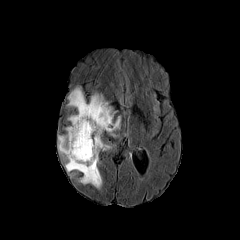
FLAIR magnetic resonance.
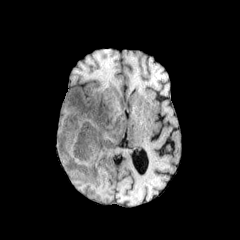
Same slice, T1-weighted MRI.
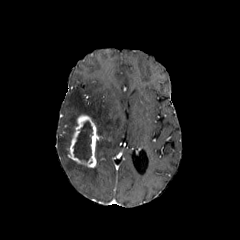
Post-contrast T1-weighted magnetic resonance.
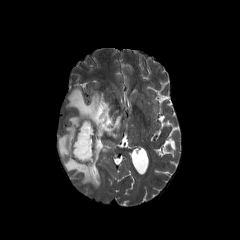
Same slice, T2-weighted MRI.
240x240 px
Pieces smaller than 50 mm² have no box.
Segmented structures:
* necrotic tumor core: [x1=73, y1=121, x2=92, y2=161]
* peritumoral edema: [x1=58, y1=88, x2=120, y2=187]
* enhancing tumor: [x1=68, y1=114, x2=98, y2=167]